240x240, Axial view, Head
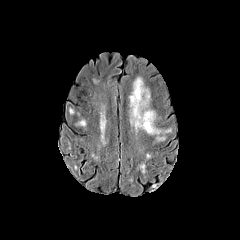
FLAIR MRI.
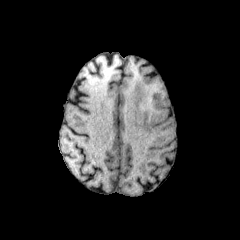
Same slice, T1-weighted MRI.
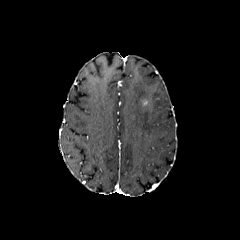
Post-contrast T1-weighted magnetic resonance of the same slice.
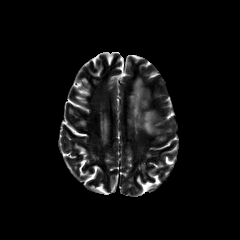
T2-weighted magnetic resonance.
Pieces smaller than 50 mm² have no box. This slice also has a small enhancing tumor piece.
peritumoral edema = {"x1": 129, "y1": 77, "x2": 161, "y2": 134}